240x240 px | Slice 89/155
FLAIR MR.
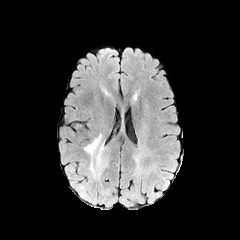
T1-weighted MR.
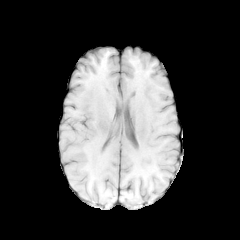
Post-contrast T1-weighted MR.
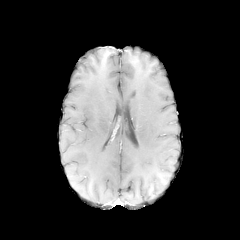
T2-weighted magnetic resonance.
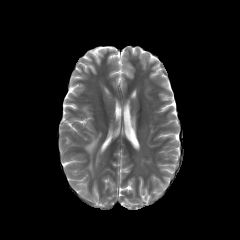
2 peritumoral edema regions are bounded by x1=84 y1=133 x2=101 y2=174, x1=96 y1=144 x2=103 y2=166.